FLAIR MR.
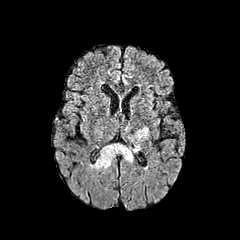
T1-weighted magnetic resonance.
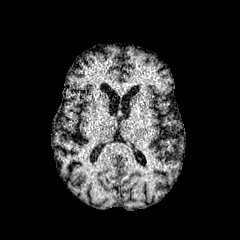
Post-contrast T1-weighted MR.
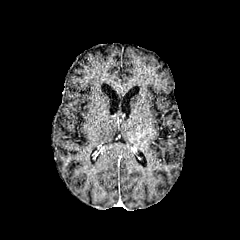
T2-weighted MR image.
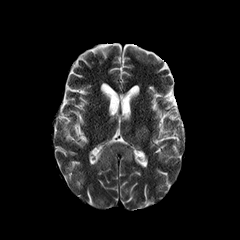
Axial view
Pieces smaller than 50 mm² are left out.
The 2 largest peritumoral edema regions appear at (left=131, top=127, right=148, bottom=143), (left=92, top=144, right=132, bottom=169). The enhancing tumor is at (left=136, top=131, right=145, bottom=139).